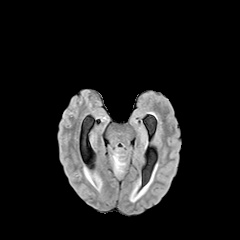
FLAIR MRI.
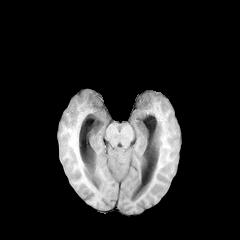
Same slice, T1-weighted MR image.
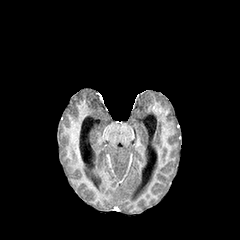
Post-contrast T1-weighted MRI.
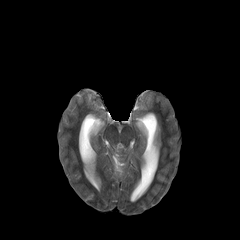
T2-weighted magnetic resonance.
Head, Image size 240x240
<segmentation>
  <peritumoral_edema>(112, 150, 125, 173)</peritumoral_edema>
</segmentation>